Brain | Image size 240x240 | Image width 240 mm
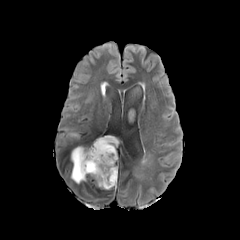
FLAIR MR image.
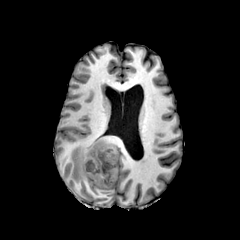
Same slice, T1-weighted MRI.
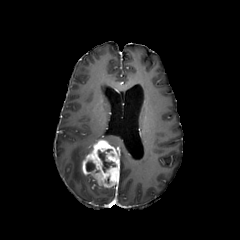
Same slice, post-contrast T1-weighted MR image.
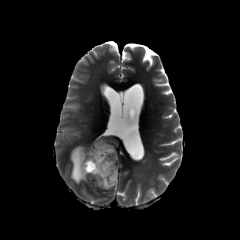
T2-weighted MRI of the same slice.
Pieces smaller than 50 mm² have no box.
peritumoral edema = <box>94,136,118,146</box>, <box>71,146,92,183</box>
necrotic tumor core = <box>98,150,115,171</box>, <box>86,161,95,171</box>
enhancing tumor = <box>82,140,119,188</box>